FLAIR MR image.
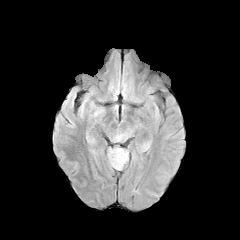
T1-weighted MR image.
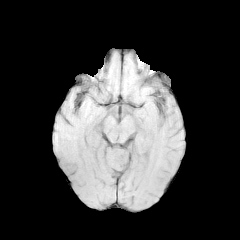
Post-contrast T1-weighted MRI.
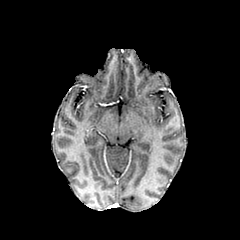
T2-weighted magnetic resonance.
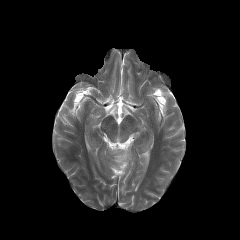
Axial slice
Annotated regions:
- peritumoral edema: (left=115, top=135, right=124, bottom=141), (left=108, top=147, right=128, bottom=170)